FLAIR MRI.
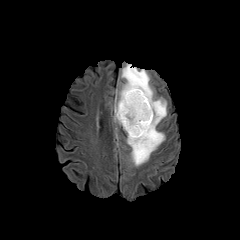
T1-weighted MR image.
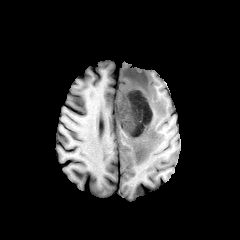
Post-contrast T1-weighted MR image.
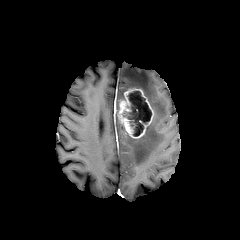
T2-weighted MRI.
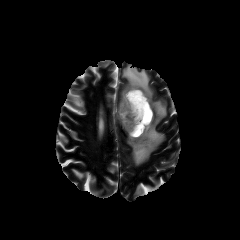
Brain; Axial view
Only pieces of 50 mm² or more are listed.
Annotated regions:
* enhancing tumor: bbox(119, 88, 153, 138)
* peritumoral edema: bbox(117, 64, 167, 166)
* necrotic tumor core: bbox(123, 91, 151, 136)